FLAIR MR image.
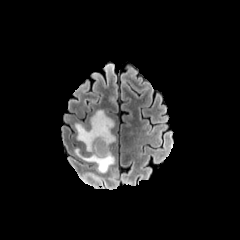
T1-weighted magnetic resonance.
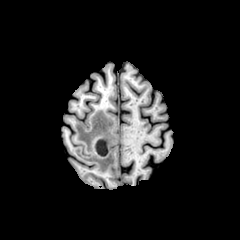
Post-contrast T1-weighted MRI.
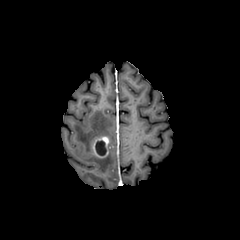
T2-weighted magnetic resonance.
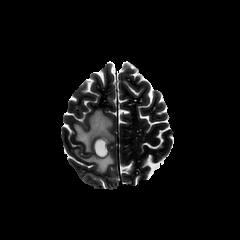
Axial slice. 240x240.
* enhancing tumor: 92:136:109:157
* peritumoral edema: 75:110:115:172
* necrotic tumor core: 95:141:106:155